Axial view, Brain
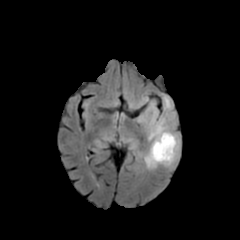
FLAIR magnetic resonance.
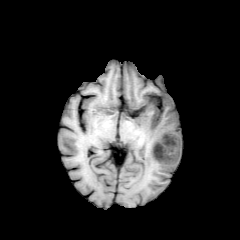
Same slice, T1-weighted MRI.
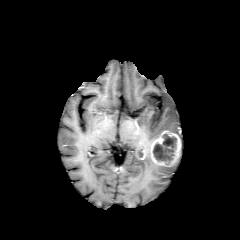
Same slice, post-contrast T1-weighted MRI.
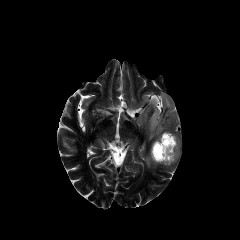
Same slice, T2-weighted MRI.
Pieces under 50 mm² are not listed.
The necrotic tumor core is bounded by 153 134 176 162. The largest peritumoral edema region lies within 130 92 180 170. The largest enhancing tumor region appears at 150 130 181 166.